FLAIR magnetic resonance.
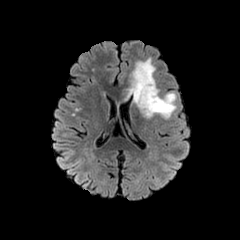
T1-weighted magnetic resonance.
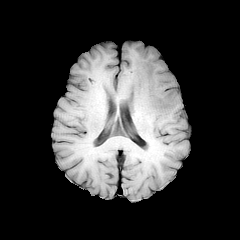
Post-contrast T1-weighted MR.
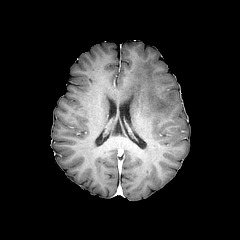
T2-weighted MR.
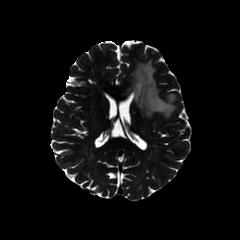
Axial view | Brain
The peritumoral edema lies within (x1=128, y1=58, x2=176, y2=118).